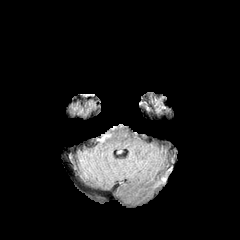
FLAIR MR.
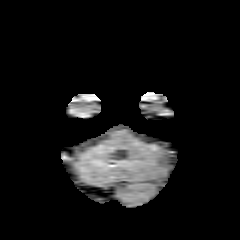
Same slice, T1-weighted MR image.
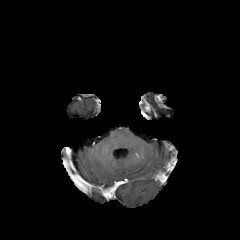
Post-contrast T1-weighted MRI.
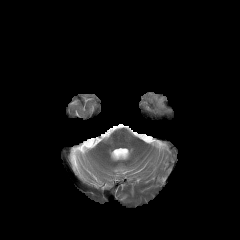
T2-weighted MR.
Axial view.
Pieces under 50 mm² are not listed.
enhancing tumor: x1=155 y1=96 x2=165 y2=107